FLAIR magnetic resonance.
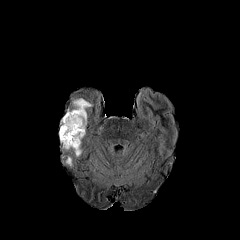
T1-weighted MR image.
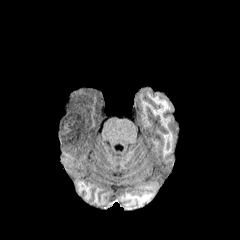
Post-contrast T1-weighted magnetic resonance.
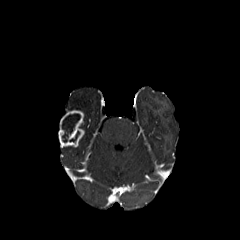
T2-weighted MR image.
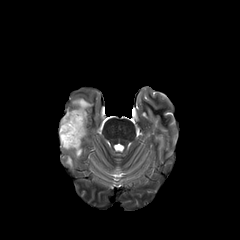
Head, Axial view
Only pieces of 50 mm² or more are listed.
The enhancing tumor lies within region(58, 110, 84, 147). The largest necrotic tumor core region lies within region(62, 113, 80, 142). 3 peritumoral edema regions are located at region(66, 156, 72, 165); region(72, 98, 92, 130); region(64, 140, 81, 156).